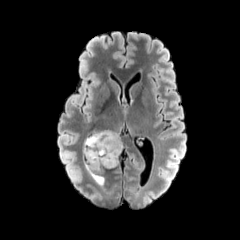
FLAIR MR image.
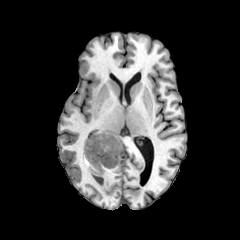
T1-weighted MR image of the same slice.
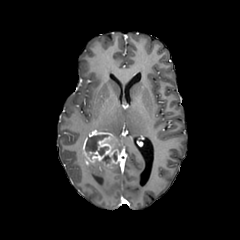
Post-contrast T1-weighted MR image.
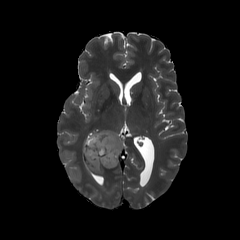
T2-weighted MR image.
Head.
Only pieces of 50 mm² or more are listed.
<segmentation>
  <necrotic_tumor_core>(85, 134, 108, 155)</necrotic_tumor_core>
  <enhancing_tumor>(82, 131, 120, 168)</enhancing_tumor>
  <peritumoral_edema>(83, 155, 116, 185), (97, 130, 122, 151)</peritumoral_edema>
</segmentation>